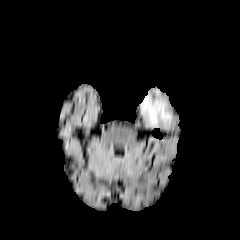
FLAIR magnetic resonance.
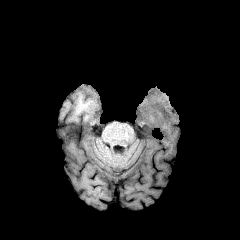
T1-weighted MR.
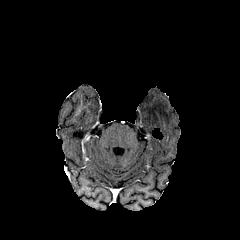
Post-contrast T1-weighted MR image.
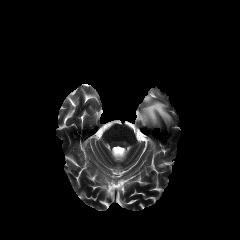
T2-weighted MR image of the same slice.
Head.
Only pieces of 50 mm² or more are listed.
peritumoral edema = (left=141, top=95, right=171, bottom=125)